FLAIR MRI.
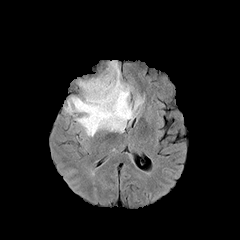
T1-weighted MR image.
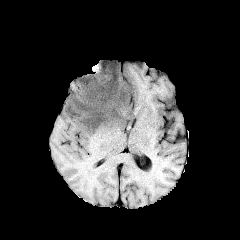
Post-contrast T1-weighted MR image.
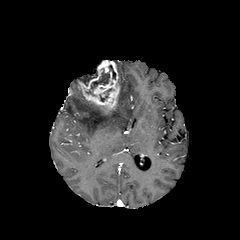
T2-weighted MRI.
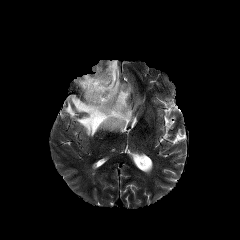
Axial plane, 240x240 px
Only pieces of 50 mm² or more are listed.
The enhancing tumor appears at l=78, t=60, r=120, b=114. The 4 largest necrotic tumor core regions are bounded by l=109, t=65, r=115, b=79; l=81, t=72, r=97, b=85; l=100, t=88, r=111, b=101; l=91, t=69, r=109, b=89. The peritumoral edema appears at l=65, t=63, r=144, b=136.